FLAIR MRI.
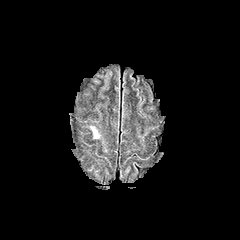
T1-weighted MR image.
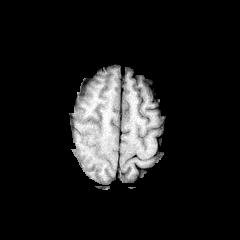
Post-contrast T1-weighted MRI.
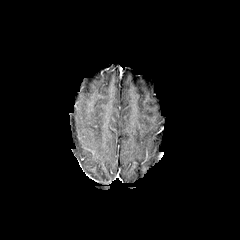
T2-weighted MR.
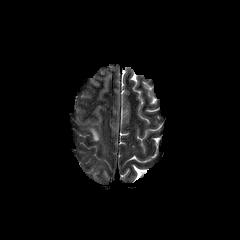
The peritumoral edema appears at l=91, t=128, r=98, b=138.